FLAIR MRI.
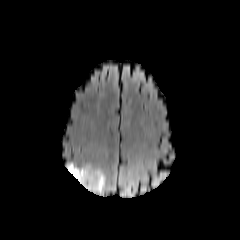
T1-weighted MR image.
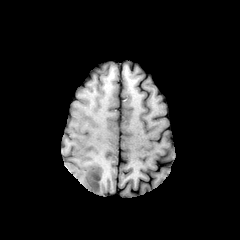
Post-contrast T1-weighted MR image.
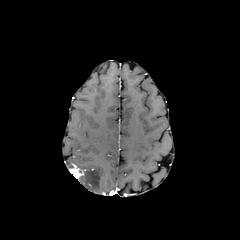
T2-weighted MR image.
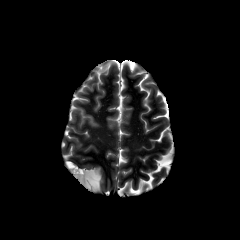
Head; 240x240
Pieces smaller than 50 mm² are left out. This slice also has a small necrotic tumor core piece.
enhancing_tumor:
  - 68 163 84 179
peritumoral_edema:
  - 78 166 104 193